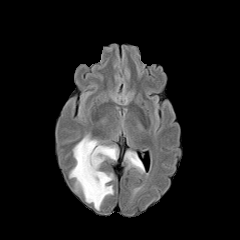
FLAIR MR.
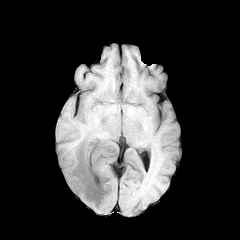
T1-weighted MR.
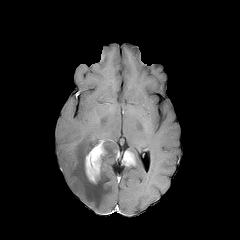
Post-contrast T1-weighted MR image.
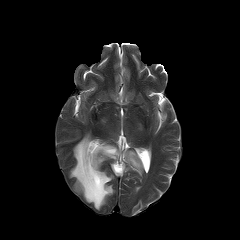
T2-weighted MR image of the same slice.
240x240. Brain.
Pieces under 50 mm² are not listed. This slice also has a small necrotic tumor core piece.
enhancing tumor at (left=122, top=151, right=135, bottom=166), (left=85, top=143, right=105, bottom=183)
peritumoral edema at (left=101, top=143, right=118, bottom=163), (left=69, top=134, right=113, bottom=210), (left=128, top=150, right=144, bottom=173)